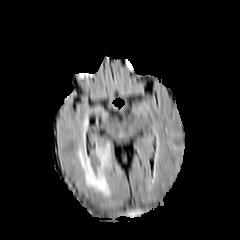
FLAIR magnetic resonance.
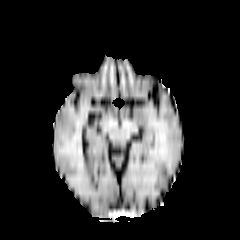
T1-weighted magnetic resonance.
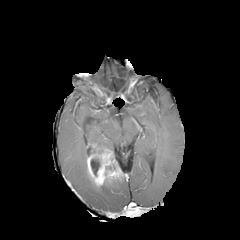
Same slice, post-contrast T1-weighted magnetic resonance.
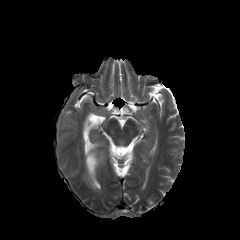
Same slice, T2-weighted MRI.
Axial view | Brain
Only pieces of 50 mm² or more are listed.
Segmented structures:
• enhancing tumor: x1=86 y1=145 x2=122 y2=187
• peritumoral edema: x1=93 y1=141 x2=111 y2=149, x1=77 y1=148 x2=110 y2=195
• necrotic tumor core: x1=91 y1=159 x2=99 y2=175